FLAIR MR.
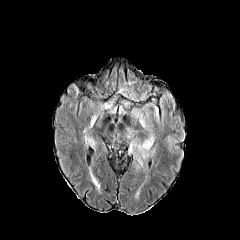
T1-weighted MRI.
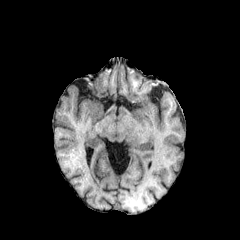
Post-contrast T1-weighted magnetic resonance.
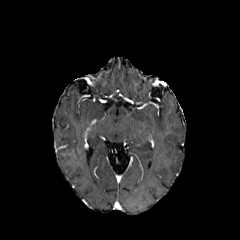
T2-weighted MR image.
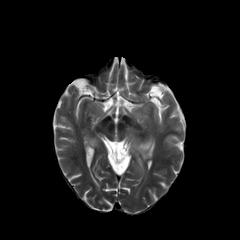
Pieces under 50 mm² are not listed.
<segmentation>
  <peritumoral_edema>{"x1": 83, "y1": 115, "x2": 97, "y2": 132}, {"x1": 84, "y1": 134, "x2": 95, "y2": 149}, {"x1": 132, "y1": 133, "x2": 154, "y2": 158}</peritumoral_edema>
</segmentation>